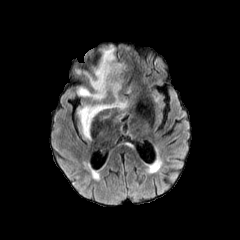
FLAIR MR.
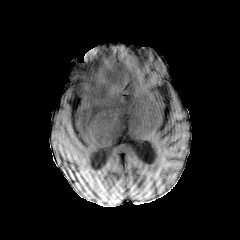
T1-weighted magnetic resonance of the same slice.
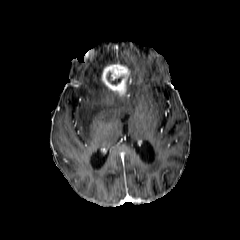
Post-contrast T1-weighted MR image of the same slice.
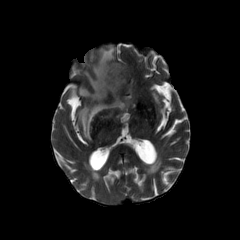
T2-weighted MR image.
Axial slice
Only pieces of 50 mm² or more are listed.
necrotic tumor core at x1=110, y1=77, x2=122, y2=84
peritumoral edema at x1=78, y1=45, x2=130, y2=138
enhancing tumor at x1=101, y1=63, x2=130, y2=97